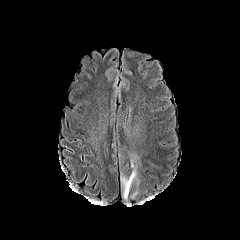
FLAIR magnetic resonance.
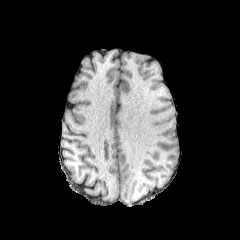
T1-weighted MR of the same slice.
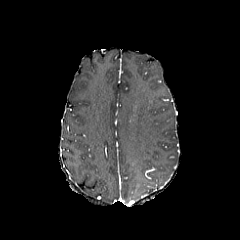
Post-contrast T1-weighted magnetic resonance.
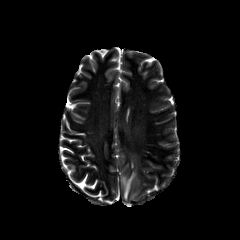
T2-weighted magnetic resonance of the same slice.
Axial slice; Brain
{
  "peritumoral_edema": [
    "[122, 171, 135, 199]"
  ]
}